Axial plane. Brain. Slice index 89.
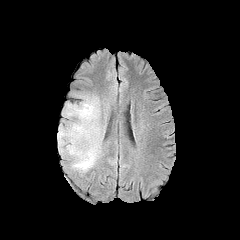
FLAIR MRI.
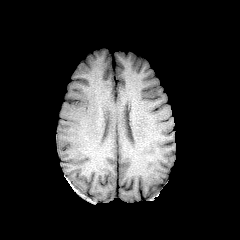
T1-weighted magnetic resonance.
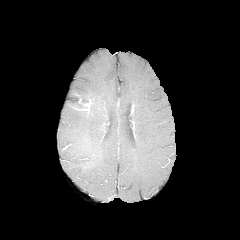
Post-contrast T1-weighted magnetic resonance.
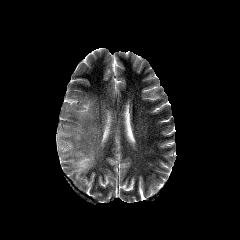
Same slice, T2-weighted MR.
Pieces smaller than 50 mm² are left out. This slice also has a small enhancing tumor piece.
peritumoral edema = {"x1": 58, "y1": 95, "x2": 100, "y2": 172}